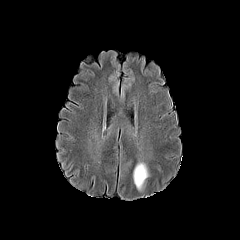
FLAIR MR image.
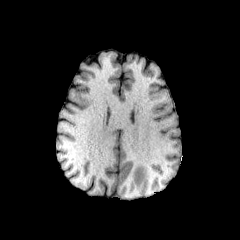
T1-weighted MRI.
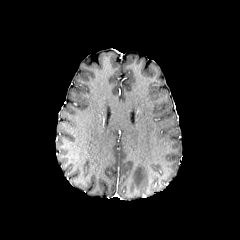
Post-contrast T1-weighted MR image.
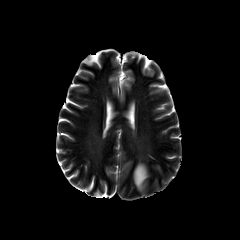
T2-weighted MR.
Brain | 240x240 px
Findings:
* peritumoral edema: bbox(133, 162, 148, 189)